Axial slice; Head
FLAIR MR.
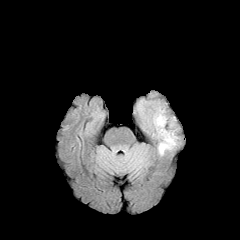
T1-weighted magnetic resonance.
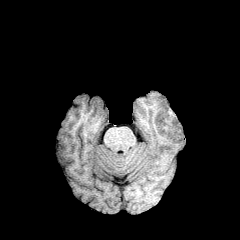
Post-contrast T1-weighted magnetic resonance.
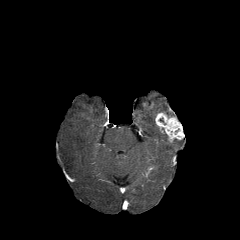
T2-weighted MR image.
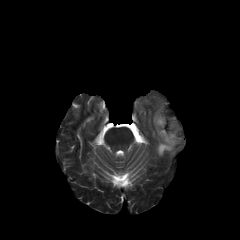
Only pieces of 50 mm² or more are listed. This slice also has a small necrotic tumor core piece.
The enhancing tumor is bounded by 155, 111, 183, 142. The peritumoral edema appears at 153, 106, 178, 155.